FLAIR magnetic resonance.
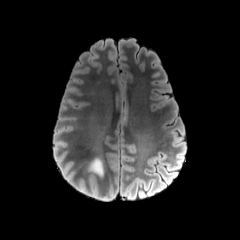
T1-weighted MRI.
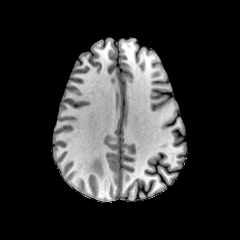
Post-contrast T1-weighted MR image.
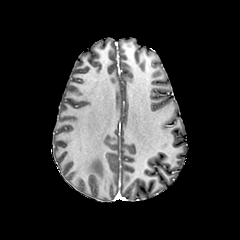
T2-weighted magnetic resonance.
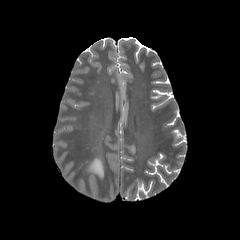
Image size 240x240; Brain
Segmented structures:
• peritumoral edema: x1=89 y1=158 x2=103 y2=175